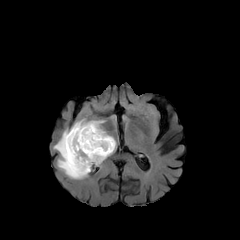
FLAIR magnetic resonance.
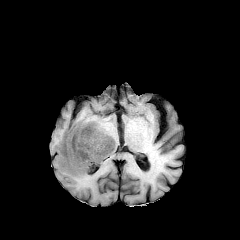
T1-weighted magnetic resonance of the same slice.
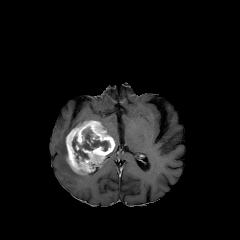
Post-contrast T1-weighted MR.
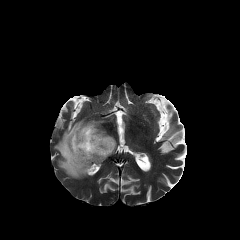
T2-weighted MR image.
240x240
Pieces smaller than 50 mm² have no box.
peritumoral edema: bounding box x1=53, y1=118, x2=89, y2=179
enhancing tumor: bounding box x1=66, y1=120, x2=115, y2=174
necrotic tumor core: bounding box x1=79, y1=127, x2=110, y2=150; x1=72, y1=137, x2=88, y2=158